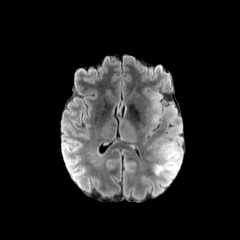
FLAIR MRI.
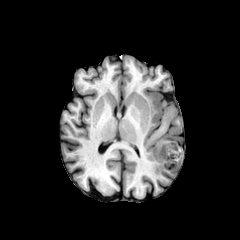
Same slice, T1-weighted magnetic resonance.
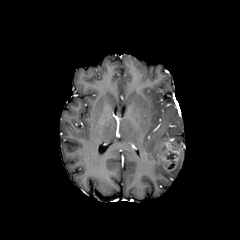
Post-contrast T1-weighted magnetic resonance of the same slice.
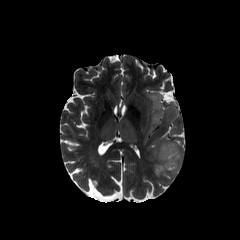
Same slice, T2-weighted MR.
Image size 240x240, Head
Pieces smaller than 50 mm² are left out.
peritumoral_edema:
  - (left=141, top=88, right=183, bottom=177)
  - (left=150, top=141, right=168, bottom=160)
enhancing_tumor:
  - (left=158, top=142, right=180, bottom=170)
necrotic_tumor_core:
  - (left=167, top=152, right=177, bottom=159)